Slice 71/155.
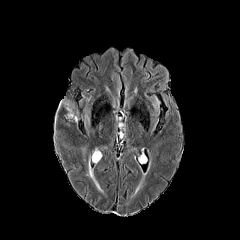
FLAIR magnetic resonance.
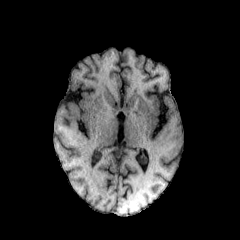
T1-weighted MRI of the same slice.
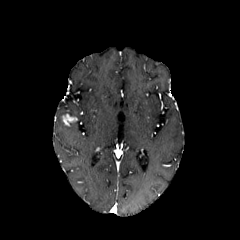
Post-contrast T1-weighted MR.
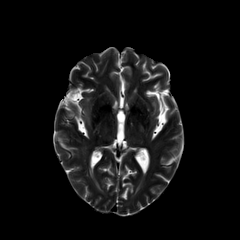
Same slice, T2-weighted magnetic resonance.
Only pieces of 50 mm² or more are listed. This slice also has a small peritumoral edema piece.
Segmented structures:
- enhancing tumor: {"x1": 63, "y1": 114, "x2": 77, "y2": 124}